FLAIR MR.
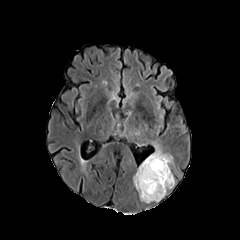
T1-weighted MR.
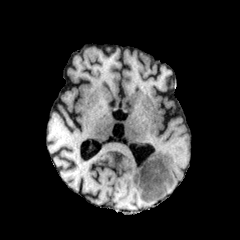
Post-contrast T1-weighted MRI.
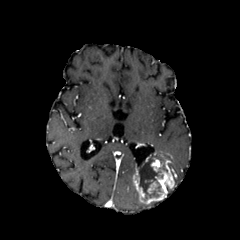
T2-weighted magnetic resonance.
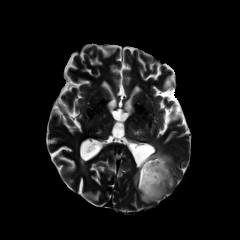
Brain
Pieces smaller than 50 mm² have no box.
Annotated regions:
• necrotic tumor core: bbox=[138, 159, 158, 194]
• peritumoral edema: bbox=[149, 141, 173, 165]
• enhancing tumor: bbox=[133, 154, 174, 203]